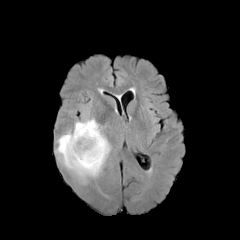
FLAIR MR image.
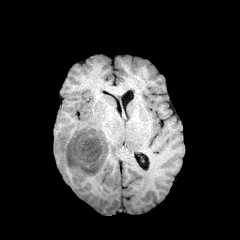
T1-weighted MR image.
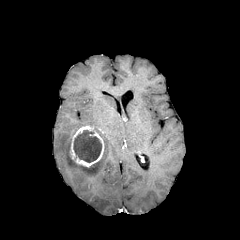
Same slice, post-contrast T1-weighted MR image.
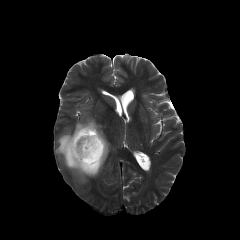
T2-weighted MRI.
Brain; Image size 240x240
The necrotic tumor core appears at 73:130:101:162. The enhancing tumor is at 70:125:104:167. The peritumoral edema is bounded by 55:118:110:183.